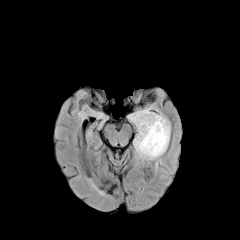
FLAIR MRI.
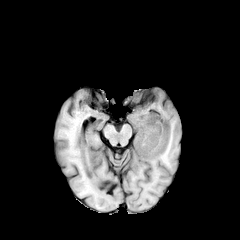
T1-weighted MRI.
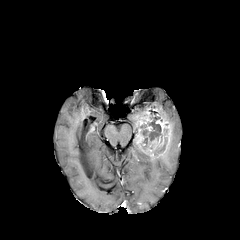
Post-contrast T1-weighted magnetic resonance.
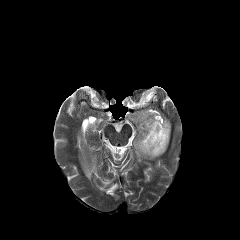
Same slice, T2-weighted magnetic resonance.
Head
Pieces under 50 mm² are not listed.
peritumoral edema at box=[128, 106, 158, 123]; box=[133, 139, 167, 159]
necrotic tumor core at box=[154, 138, 166, 156]; box=[141, 116, 162, 149]
enhancing tumor at box=[135, 108, 170, 158]